FLAIR MRI.
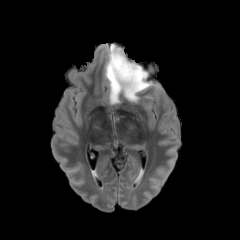
T1-weighted magnetic resonance.
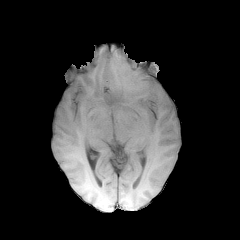
Post-contrast T1-weighted MR image.
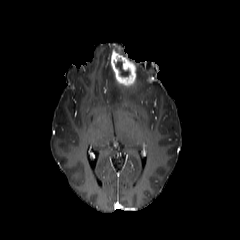
T2-weighted MR.
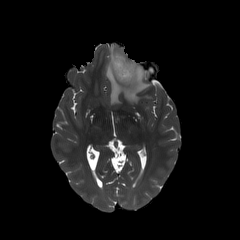
Axial slice; Brain
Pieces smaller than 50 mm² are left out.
necrotic tumor core at bbox(115, 61, 129, 76)
peritumoral edema at bbox(105, 45, 160, 104)
enhancing tumor at bbox(111, 50, 136, 87)